240x240 | Axial plane
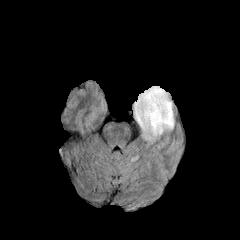
FLAIR MR image.
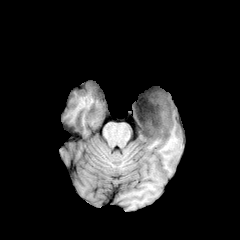
T1-weighted magnetic resonance of the same slice.
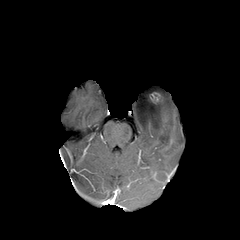
Post-contrast T1-weighted magnetic resonance.
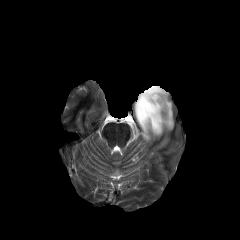
T2-weighted magnetic resonance of the same slice.
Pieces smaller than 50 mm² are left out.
<segmentation>
  <necrotic_tumor_core>bbox=[137, 90, 161, 128]</necrotic_tumor_core>
  <peritumoral_edema>bbox=[133, 86, 174, 142]</peritumoral_edema>
  <enhancing_tumor>bbox=[148, 87, 163, 130]</enhancing_tumor>
</segmentation>